Head | Slice 47 of 155 | Image width 240 mm | Axial plane
FLAIR magnetic resonance.
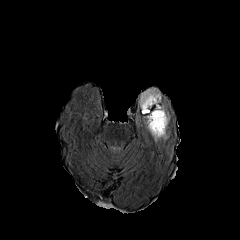
T1-weighted magnetic resonance.
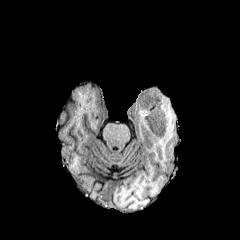
Post-contrast T1-weighted MRI.
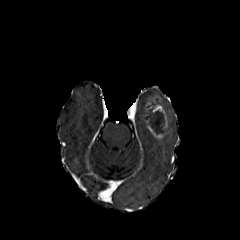
T2-weighted MR.
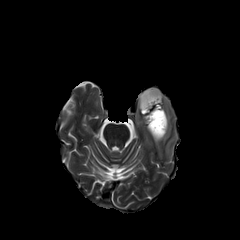
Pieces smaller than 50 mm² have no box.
peritumoral edema at <box>161,104,170,124</box>, <box>138,88,161,114</box>
enhancing tumor at <box>145,94,167,139</box>
necrotic tumor core at <box>146,109,164,134</box>